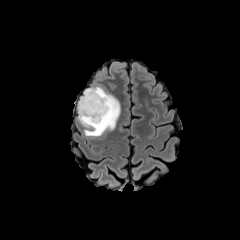
FLAIR magnetic resonance.
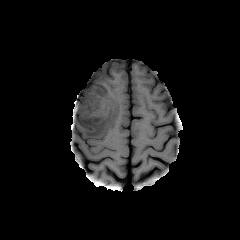
T1-weighted MR image of the same slice.
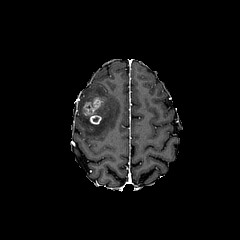
Same slice, post-contrast T1-weighted MRI.
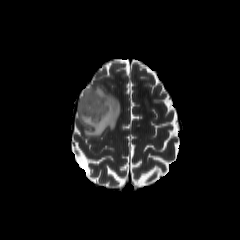
T2-weighted MRI.
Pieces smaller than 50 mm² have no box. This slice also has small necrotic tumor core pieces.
The enhancing tumor appears at bbox(83, 97, 103, 124). The peritumoral edema appears at bbox(77, 86, 120, 136).